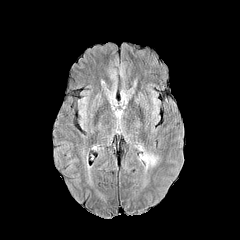
FLAIR MR image.
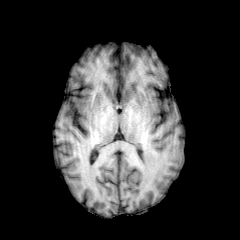
Same slice, T1-weighted MR.
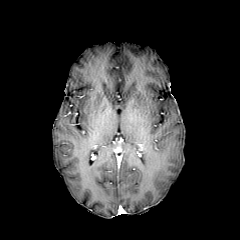
Post-contrast T1-weighted MRI of the same slice.
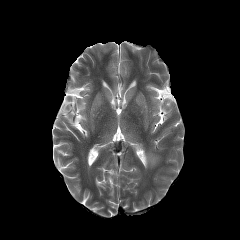
T2-weighted MRI of the same slice.
240x240
Findings:
• peritumoral edema: 142:154:156:164